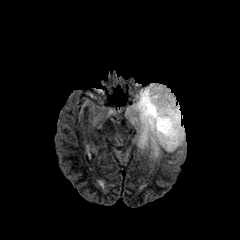
FLAIR MR.
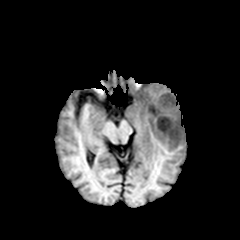
T1-weighted MRI.
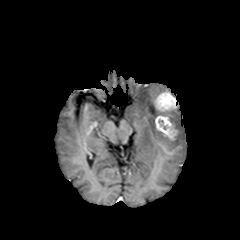
Same slice, post-contrast T1-weighted magnetic resonance.
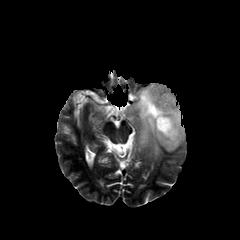
T2-weighted magnetic resonance.
Brain
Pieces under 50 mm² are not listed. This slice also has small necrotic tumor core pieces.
The enhancing tumor is bounded by {"x1": 154, "y1": 91, "x2": 178, "y2": 140}. The largest peritumoral edema region appears at {"x1": 126, "y1": 83, "x2": 185, "y2": 159}.